Head, 240x240 px
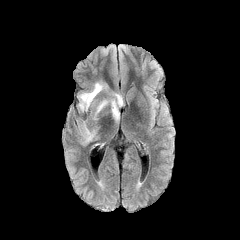
FLAIR MRI.
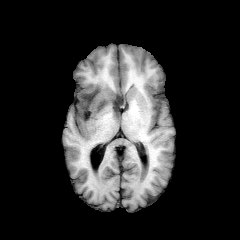
T1-weighted MR image.
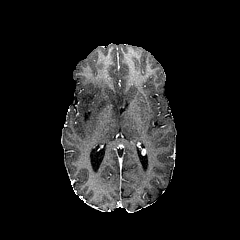
Post-contrast T1-weighted MR of the same slice.
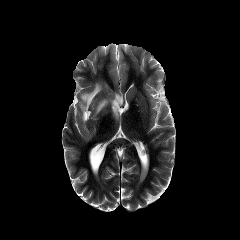
T2-weighted MR of the same slice.
{
  "peritumoral_edema": [
    "box(77, 82, 123, 144)"
  ]
}